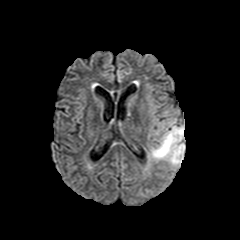
FLAIR MR image.
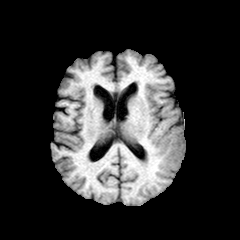
T1-weighted MR image of the same slice.
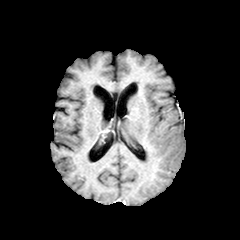
Post-contrast T1-weighted MRI of the same slice.
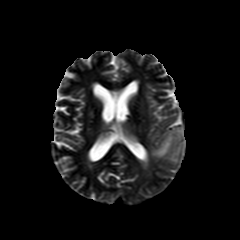
Same slice, T2-weighted MR image.
Axial plane. Brain.
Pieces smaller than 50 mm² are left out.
peritumoral edema = bbox(151, 119, 185, 167)